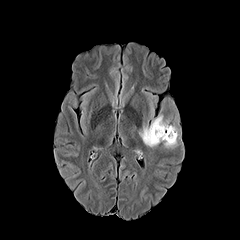
FLAIR magnetic resonance.
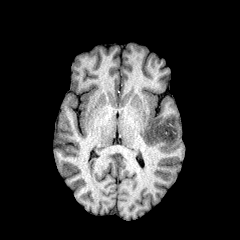
T1-weighted MRI.
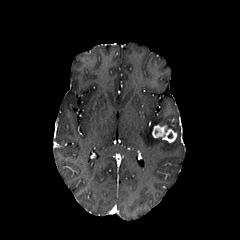
Post-contrast T1-weighted MRI.
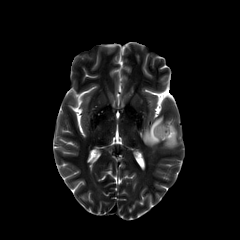
T2-weighted magnetic resonance of the same slice.
Head. Image size 240x240.
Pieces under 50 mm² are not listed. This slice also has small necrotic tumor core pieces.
enhancing tumor: 152,125,176,142
peritumoral edema: 163,139,177,148; 139,113,176,147